FLAIR MR image.
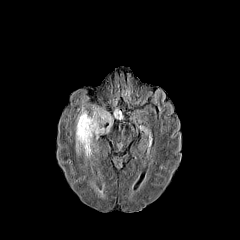
T1-weighted MR.
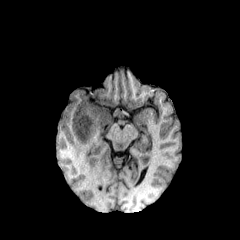
Post-contrast T1-weighted MRI.
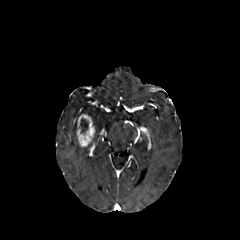
T2-weighted MRI.
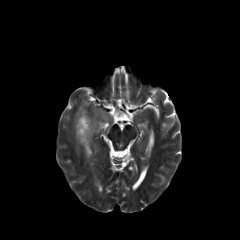
Head; Axial view
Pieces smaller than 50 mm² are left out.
enhancing tumor — 76, 114, 95, 147
necrotic tumor core — 80, 118, 87, 131
peritumoral edema — 92, 112, 105, 133